Axial slice. Head. Image width 240 mm, 1.00 mm slice spacing.
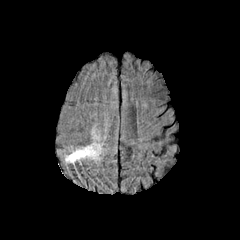
FLAIR MRI.
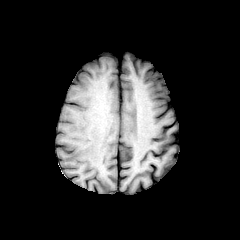
T1-weighted magnetic resonance.
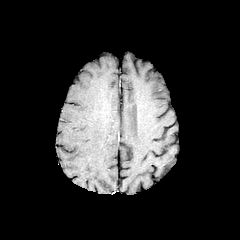
Same slice, post-contrast T1-weighted MR.
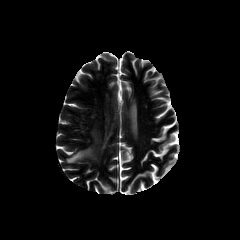
T2-weighted MR image.
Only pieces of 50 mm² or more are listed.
<segmentation>
  <peritumoral_edema>(left=65, top=142, right=100, bottom=163)</peritumoral_edema>
</segmentation>